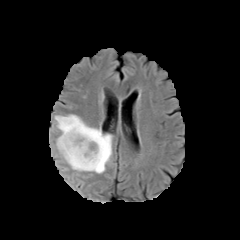
FLAIR MR.
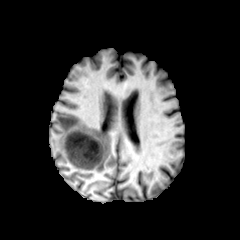
Same slice, T1-weighted magnetic resonance.
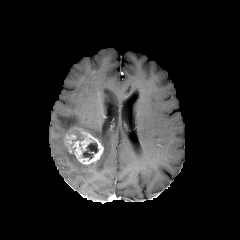
Post-contrast T1-weighted MR image.
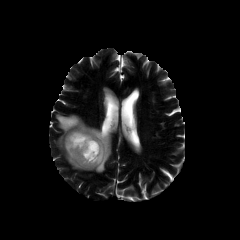
T2-weighted MRI.
240x240 px; Axial plane
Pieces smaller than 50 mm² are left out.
necrotic_tumor_core:
  - x1=83 y1=142 x2=98 y2=159
enhancing_tumor:
  - x1=64 y1=127 x2=103 y2=165
peritumoral_edema:
  - x1=55 y1=114 x2=112 y2=173